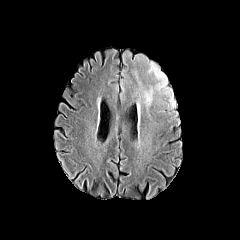
FLAIR MR.
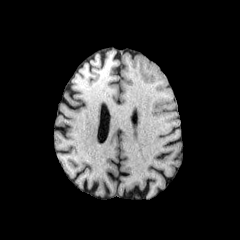
T1-weighted MR image.
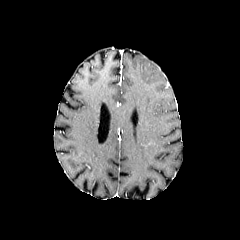
Post-contrast T1-weighted MR.
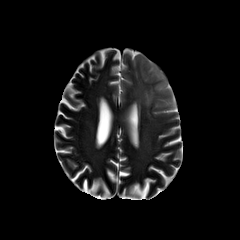
T2-weighted magnetic resonance.
Brain. Axial view.
{
  "peritumoral_edema": [
    "x1=143 y1=62 x2=173 y2=107"
  ]
}